FLAIR MR image.
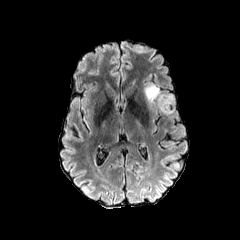
T1-weighted MRI.
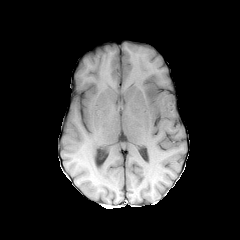
Post-contrast T1-weighted MR.
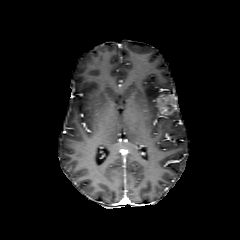
T2-weighted MRI.
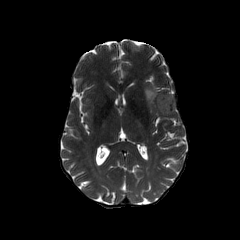
Head | Axial plane
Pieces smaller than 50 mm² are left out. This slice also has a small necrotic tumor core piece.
enhancing tumor = {"x1": 155, "y1": 94, "x2": 176, "y2": 114}
peritumoral edema = {"x1": 144, "y1": 84, "x2": 159, "y2": 106}